Slice index 125. Axial view. 240x240.
FLAIR MR image.
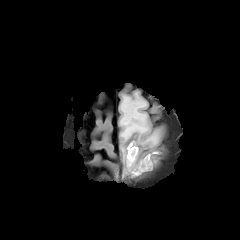
T1-weighted MR.
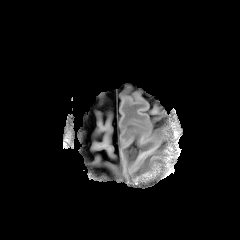
Post-contrast T1-weighted magnetic resonance.
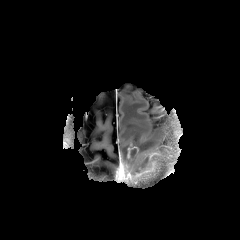
T2-weighted MR image.
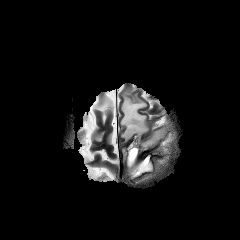
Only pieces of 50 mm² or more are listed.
peritumoral edema at (120, 94, 160, 146), (132, 154, 148, 171), (122, 147, 127, 162)
necrotic tumor core at (128, 149, 136, 166)
enhancing tumor at (127, 143, 138, 160), (124, 152, 158, 179)